Slice 123 of 155; 240x240 px; Image covers 240 mm x 240 mm
FLAIR MRI.
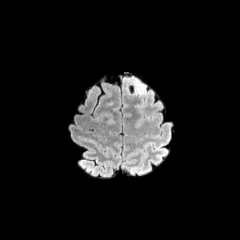
T1-weighted MR.
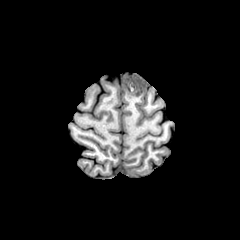
Post-contrast T1-weighted MRI.
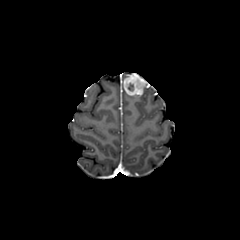
T2-weighted MRI.
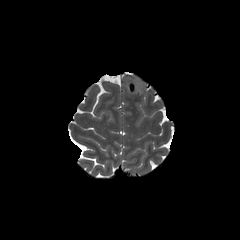
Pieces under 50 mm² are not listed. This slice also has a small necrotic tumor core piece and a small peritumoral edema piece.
{
  "enhancing_tumor": [
    "[123, 75, 145, 96]"
  ]
}